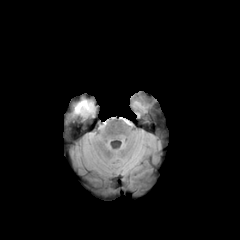
FLAIR MR.
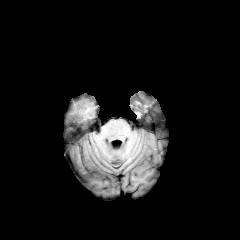
T1-weighted MRI of the same slice.
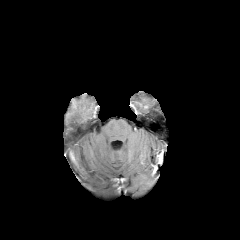
Post-contrast T1-weighted MRI.
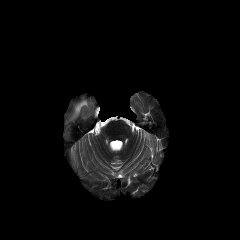
T2-weighted MRI of the same slice.
Brain. Axial plane.
* peritumoral edema: (72, 99, 93, 117)